Slice 89/155. Head.
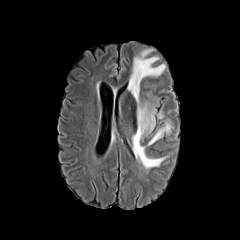
FLAIR MR.
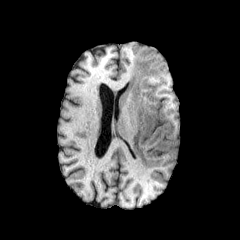
T1-weighted magnetic resonance of the same slice.
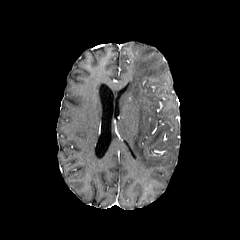
Post-contrast T1-weighted MRI of the same slice.
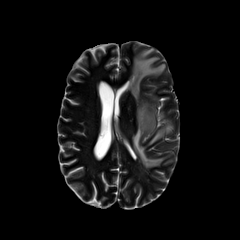
Same slice, T2-weighted MRI.
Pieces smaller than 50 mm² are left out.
peritumoral edema at 148, 123, 170, 145; 128, 49, 165, 168